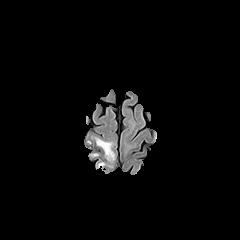
FLAIR MR.
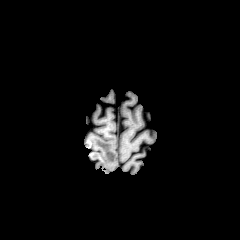
T1-weighted magnetic resonance of the same slice.
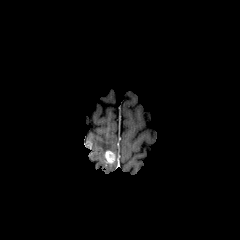
Post-contrast T1-weighted MR.
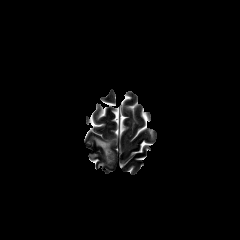
T2-weighted MR image.
Axial slice
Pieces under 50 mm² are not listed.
The 2 largest peritumoral edema regions appear at (91,136,113,154), (98,162,112,167). The enhancing tumor is located at (104,150,115,164).